Brain. 240x240. Axial slice. Image width 240 mm.
FLAIR MR.
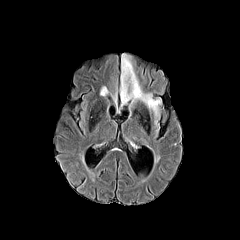
T1-weighted MRI.
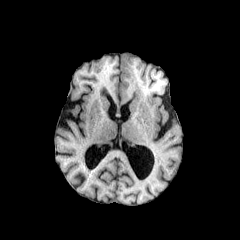
Post-contrast T1-weighted magnetic resonance.
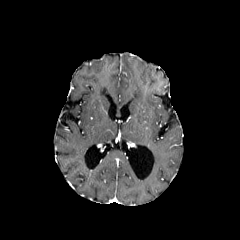
T2-weighted MR.
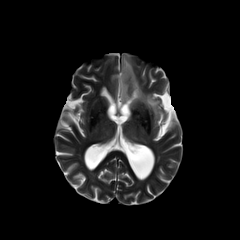
peritumoral edema — bbox=[120, 54, 161, 118]